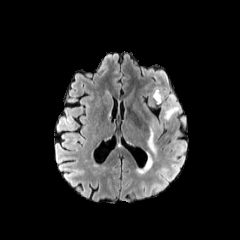
FLAIR magnetic resonance.
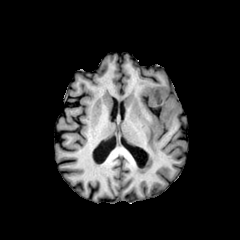
T1-weighted magnetic resonance.
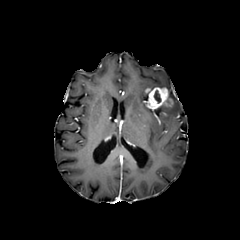
Same slice, post-contrast T1-weighted magnetic resonance.
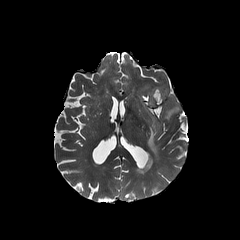
T2-weighted magnetic resonance of the same slice.
Axial slice, Brain
The enhancing tumor is at box=[145, 87, 172, 109]. 3 peritumoral edema regions are bounded by box=[147, 120, 157, 156]; box=[138, 155, 152, 172]; box=[161, 94, 179, 120]. The necrotic tumor core is at box=[154, 90, 160, 102].